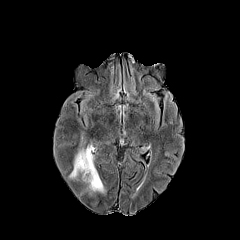
FLAIR MRI.
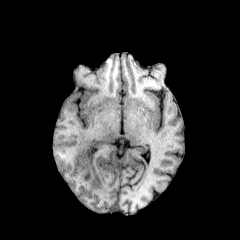
Same slice, T1-weighted MR.
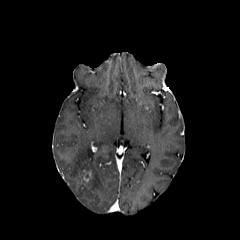
Post-contrast T1-weighted MR.
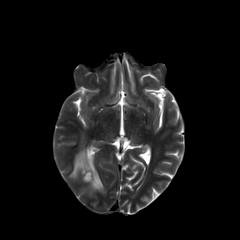
T2-weighted MR.
Axial plane.
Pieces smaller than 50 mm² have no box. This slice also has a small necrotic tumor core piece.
<segmentation>
  <peritumoral_edema>rect(69, 145, 105, 193)</peritumoral_edema>
  <enhancing_tumor>rect(83, 170, 91, 181)</enhancing_tumor>
</segmentation>